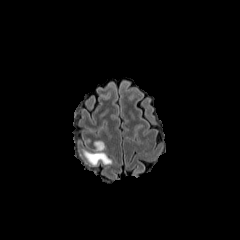
FLAIR MRI.
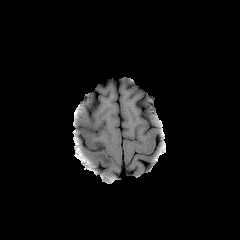
T1-weighted magnetic resonance.
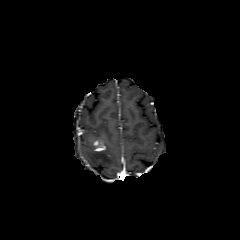
Post-contrast T1-weighted MR of the same slice.
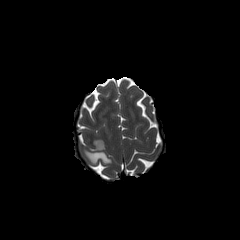
T2-weighted MR image.
Axial plane, Image size 240x240
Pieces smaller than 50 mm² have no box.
peritumoral edema: (82,149,112,165) | enhancing tumor: (94,140,105,151)